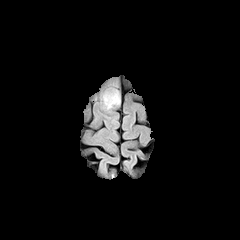
FLAIR magnetic resonance.
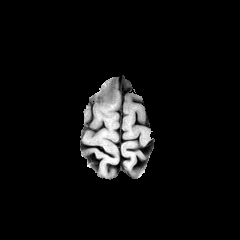
T1-weighted magnetic resonance.
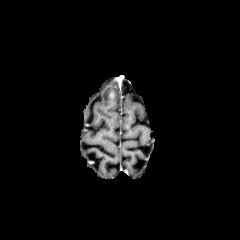
Post-contrast T1-weighted MR of the same slice.
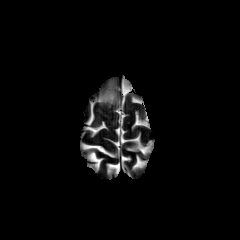
Same slice, T2-weighted magnetic resonance.
240x240 | Axial slice | Head
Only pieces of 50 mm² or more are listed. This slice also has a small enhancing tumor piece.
Annotated regions:
• peritumoral edema: (x1=101, y1=89, x2=120, y2=108)